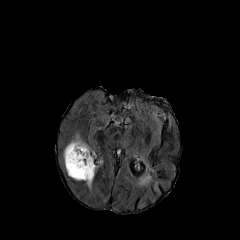
FLAIR MR.
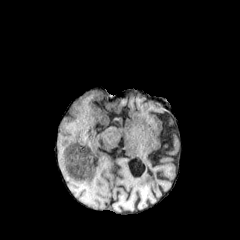
Same slice, T1-weighted MR image.
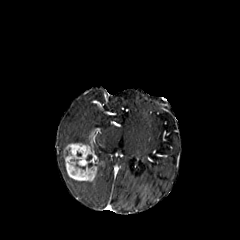
Post-contrast T1-weighted magnetic resonance.
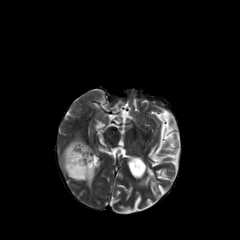
Same slice, T2-weighted MR image.
Head. Axial slice.
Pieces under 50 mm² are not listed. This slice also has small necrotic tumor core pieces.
Segmented structures:
- peritumoral edema: l=69, t=135, r=85, b=143
- enhancing tumor: l=64, t=143, r=97, b=181